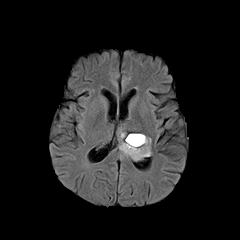
FLAIR MR.
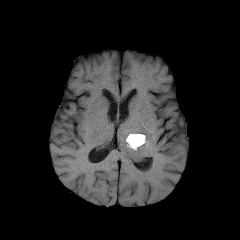
T1-weighted magnetic resonance.
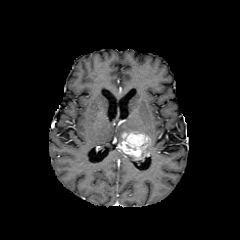
Post-contrast T1-weighted MRI.
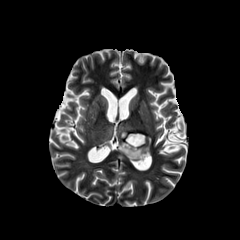
T2-weighted MRI of the same slice.
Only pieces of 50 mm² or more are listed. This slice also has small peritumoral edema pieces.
{"enhancing_tumor": ["left=118, top=133, right=150, bottom=160"]}